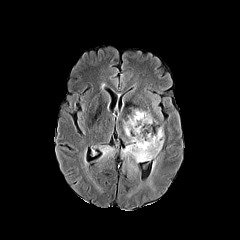
FLAIR magnetic resonance.
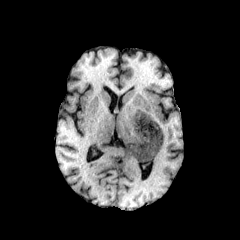
Same slice, T1-weighted MR image.
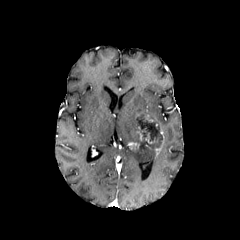
Same slice, post-contrast T1-weighted magnetic resonance.
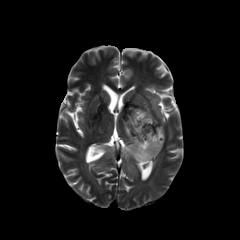
Same slice, T2-weighted MR.
Brain. Axial slice.
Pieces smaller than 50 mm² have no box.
Annotated regions:
* necrotic tumor core: <bbox>136, 114, 162, 149</bbox>
* enhancing tumor: <bbox>128, 142, 139, 149</bbox>, <bbox>154, 128, 164, 154</bbox>
* peritumoral edema: <bbox>120, 106, 159, 190</bbox>, <bbox>97, 144, 116, 162</bbox>, <bbox>92, 180, 102, 192</bbox>